Head; Slice 71/155; Image size 240x240
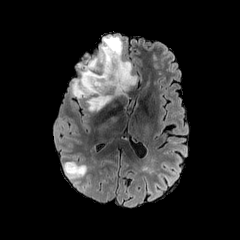
FLAIR magnetic resonance.
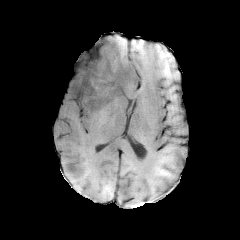
T1-weighted MR.
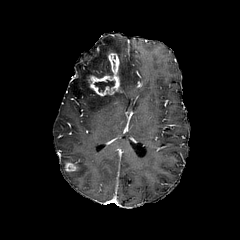
Post-contrast T1-weighted MR image.
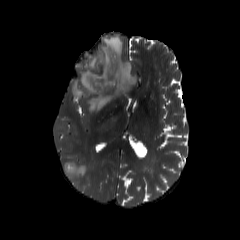
T2-weighted MR image.
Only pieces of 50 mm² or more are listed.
Annotated regions:
* necrotic tumor core: left=95, top=80, right=114, bottom=91
* peritumoral edema: left=63, top=158, right=85, bottom=177; left=70, top=35, right=137, bottom=112
* enhancing tumor: left=81, top=51, right=121, bottom=96